Brain; Image size 240x240
FLAIR MR.
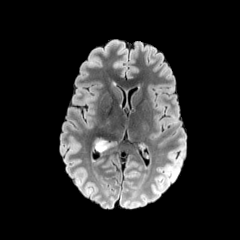
T1-weighted MR image.
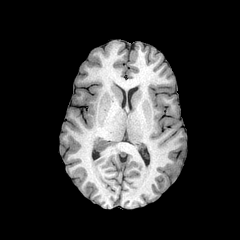
Post-contrast T1-weighted MRI.
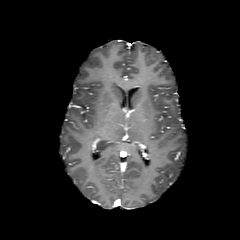
T2-weighted magnetic resonance.
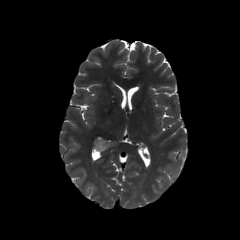
peritumoral edema: region(92, 134, 116, 151)